Head, 240x240 px, Slice 39/155, Image width 240 mm, Axial plane
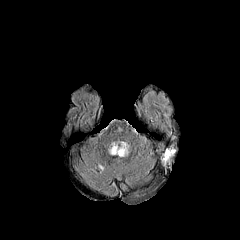
FLAIR MR.
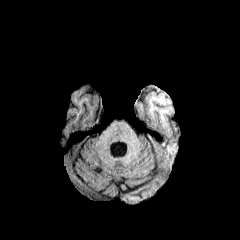
T1-weighted MR of the same slice.
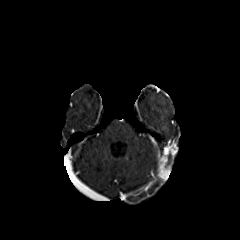
Post-contrast T1-weighted MRI.
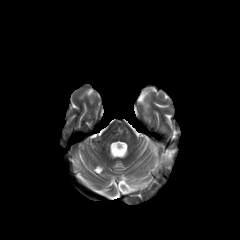
T2-weighted magnetic resonance.
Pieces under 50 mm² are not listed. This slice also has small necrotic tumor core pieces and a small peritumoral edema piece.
The enhancing tumor lies within 160:143:177:168.